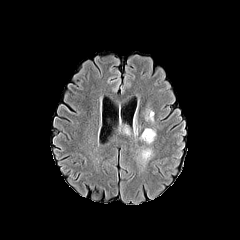
FLAIR MRI.
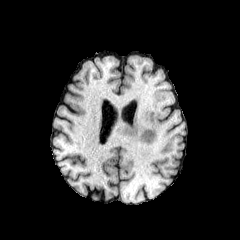
Same slice, T1-weighted MR.
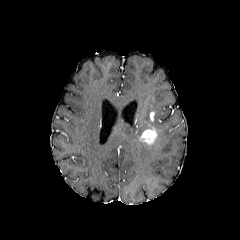
Post-contrast T1-weighted MR.
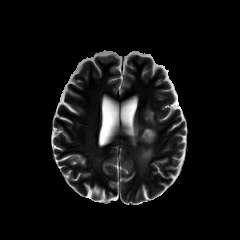
Same slice, T2-weighted MR image.
Axial plane. Head.
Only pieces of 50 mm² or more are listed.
peritumoral edema = region(145, 109, 153, 122); region(136, 147, 153, 166); region(133, 123, 138, 140); region(119, 125, 131, 134)
enhancing tumor = region(139, 128, 156, 144)